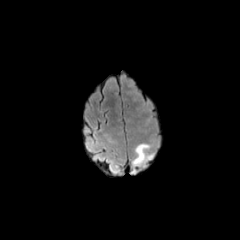
FLAIR magnetic resonance.
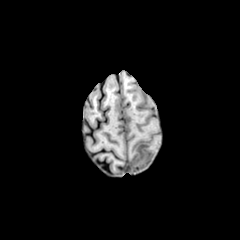
Same slice, T1-weighted MR image.
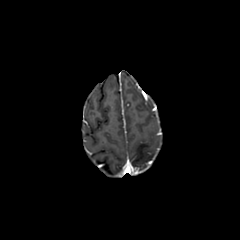
Same slice, post-contrast T1-weighted MR.
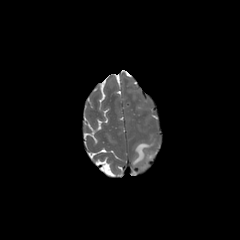
T2-weighted magnetic resonance.
Axial plane. Image size 240x240. Brain.
peritumoral_edema:
  - <bbox>132, 143, 153, 166</bbox>